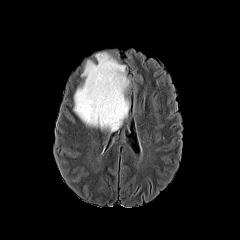
FLAIR MR image.
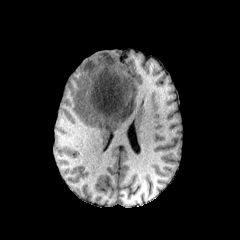
T1-weighted MRI.
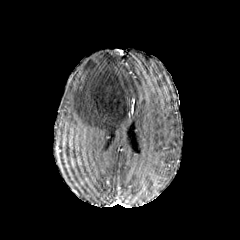
Post-contrast T1-weighted magnetic resonance of the same slice.
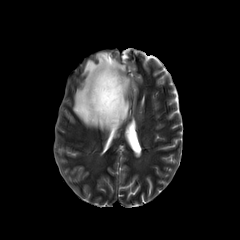
T2-weighted MR.
{
  "peritumoral_edema": [
    {"x1": 73, "y1": 52, "x2": 129, "y2": 132}
  ]
}